Slice index 74. Brain. 240x240 px.
FLAIR magnetic resonance.
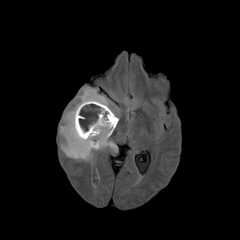
T1-weighted MRI.
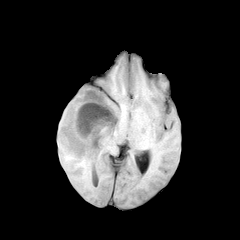
Post-contrast T1-weighted MR.
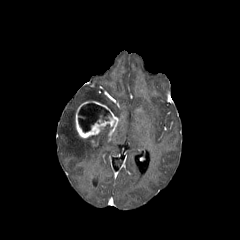
T2-weighted MRI.
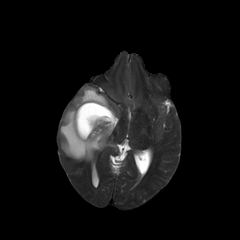
Findings:
- necrotic tumor core: (78, 103, 111, 132)
- peritumoral edema: (59, 87, 117, 161)
- enhancing tumor: (75, 101, 118, 138)